FLAIR MR.
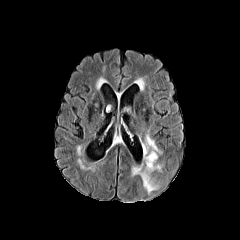
T1-weighted MR image.
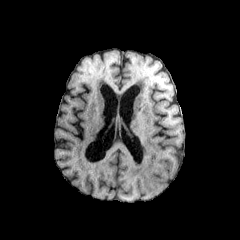
Post-contrast T1-weighted MR.
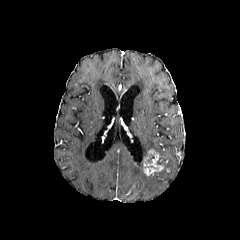
T2-weighted MR image.
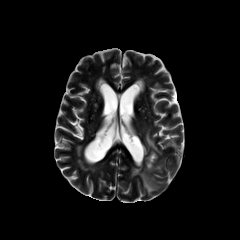
Axial plane
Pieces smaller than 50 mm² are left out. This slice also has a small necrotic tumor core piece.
<segmentation>
  <enhancing_tumor>l=143, t=150, r=162, b=175</enhancing_tumor>
  <peritumoral_edema>l=132, t=164, r=158, b=193; l=144, t=133, r=161, b=154</peritumoral_edema>
</segmentation>